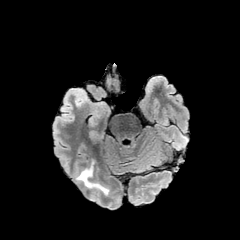
FLAIR magnetic resonance.
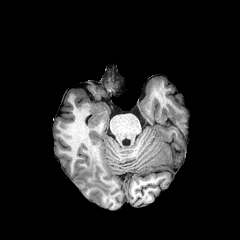
Same slice, T1-weighted MR image.
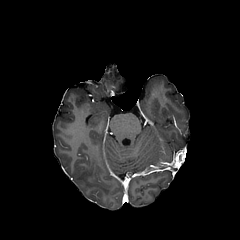
Post-contrast T1-weighted MR image of the same slice.
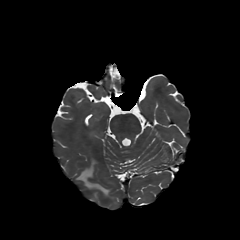
T2-weighted magnetic resonance of the same slice.
Axial plane
peritumoral edema = (90,193,100,203), (75,158,110,195)